240x240 px | Image covers 240 mm x 240 mm | Brain | Axial plane | Slice 74/155
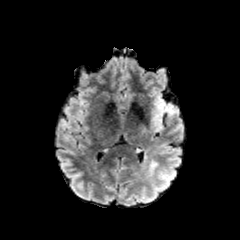
FLAIR MR.
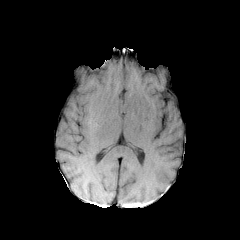
T1-weighted MR.
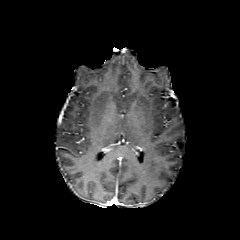
Same slice, post-contrast T1-weighted magnetic resonance.
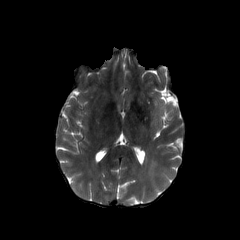
Same slice, T2-weighted MR image.
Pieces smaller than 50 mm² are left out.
The largest peritumoral edema region lies within bbox=[153, 96, 178, 131].